FLAIR magnetic resonance.
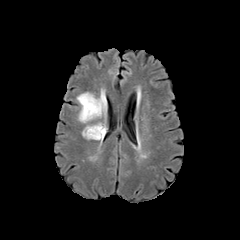
T1-weighted magnetic resonance.
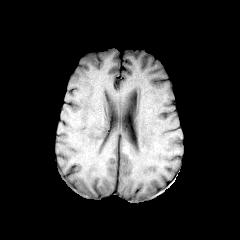
Post-contrast T1-weighted MR image.
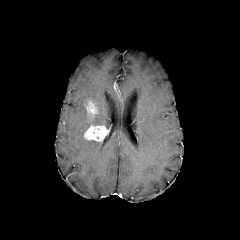
T2-weighted MR.
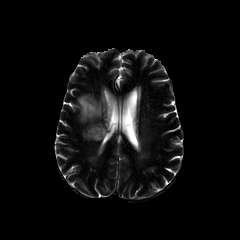
Brain.
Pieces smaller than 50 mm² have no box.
<segmentation>
  <peritumoral_edema><bbox>77, 91, 106, 123</bbox></peritumoral_edema>
  <enhancing_tumor><bbox>85, 100, 98, 117</bbox>, <bbox>84, 125, 107, 141</bbox></enhancing_tumor>
</segmentation>